Head | Axial plane | Slice 111/155
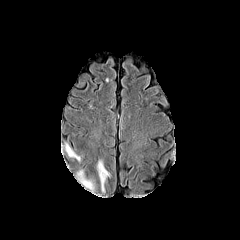
FLAIR magnetic resonance.
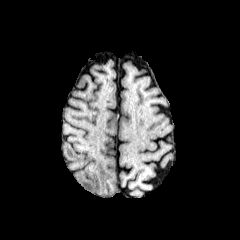
Same slice, T1-weighted MRI.
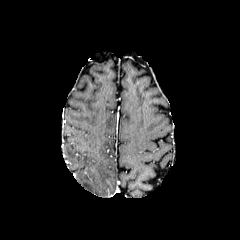
Same slice, post-contrast T1-weighted MR.
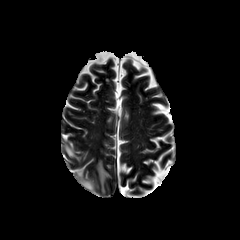
T2-weighted magnetic resonance of the same slice.
• peritumoral edema: <box>97,160,110,192</box>, <box>78,171,94,192</box>, <box>65,144,80,160</box>